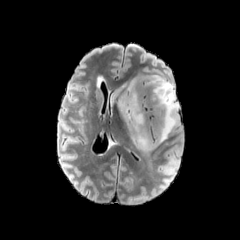
FLAIR magnetic resonance.
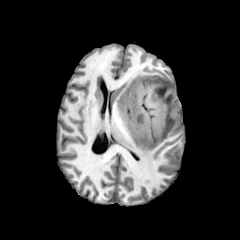
Same slice, T1-weighted MRI.
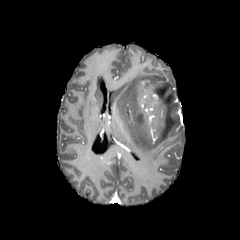
Post-contrast T1-weighted MR image of the same slice.
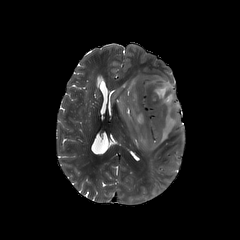
T2-weighted MR.
Head
The enhancing tumor appears at 152:93:158:106. The peritumoral edema lies within 111:73:179:152.